Axial plane; Image width 240 mm; Slice index 115; Brain
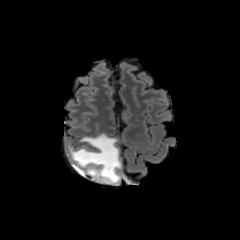
FLAIR MR.
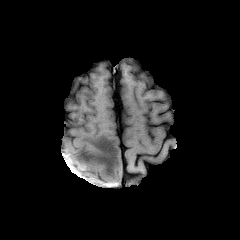
Same slice, T1-weighted MRI.
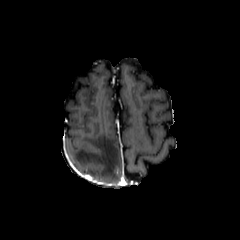
Post-contrast T1-weighted MR image.
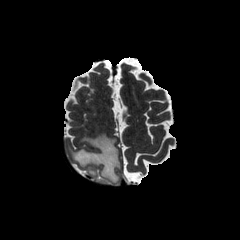
Same slice, T2-weighted magnetic resonance.
peritumoral edema: region(68, 133, 121, 184)